FLAIR MR image.
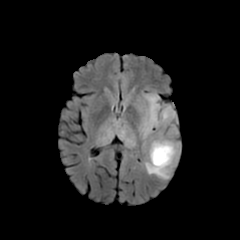
T1-weighted magnetic resonance.
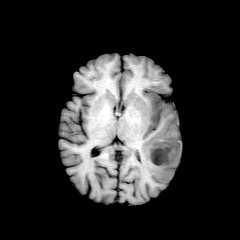
Post-contrast T1-weighted magnetic resonance.
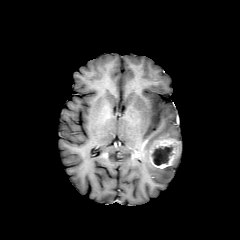
T2-weighted magnetic resonance.
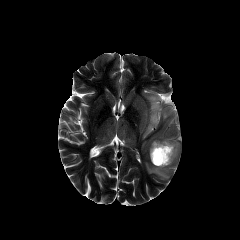
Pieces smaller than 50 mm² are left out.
enhancing tumor: bounding box left=150, top=138, right=179, bottom=168
peritumoral edema: bounding box left=139, top=91, right=176, bottom=140; left=144, top=124, right=179, bottom=180
necrotic tumor core: bounding box left=152, top=146, right=173, bottom=165